FLAIR MR image.
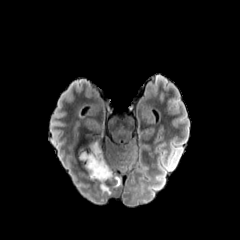
T1-weighted magnetic resonance.
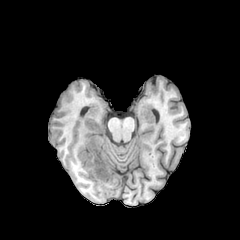
Post-contrast T1-weighted MR image.
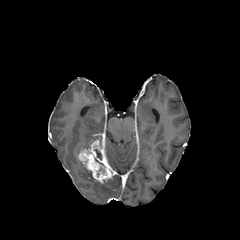
T2-weighted MR image.
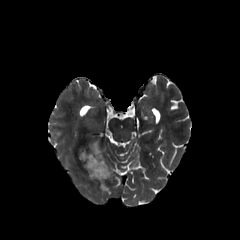
Axial view
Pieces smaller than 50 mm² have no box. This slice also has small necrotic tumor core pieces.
Segmented structures:
* peritumoral edema: (100,181,110,194)
* enhancing tumor: (78,139,115,183)